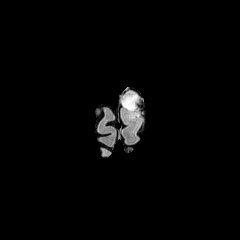
FLAIR MRI.
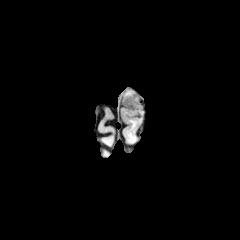
Same slice, T1-weighted MRI.
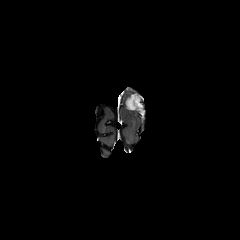
Post-contrast T1-weighted MRI.
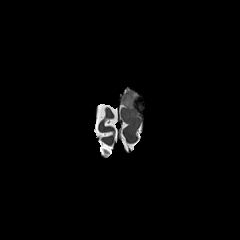
T2-weighted magnetic resonance.
Brain | 240x240
The peritumoral edema is located at (122, 92, 139, 119). The enhancing tumor is located at (125, 94, 139, 110).